FLAIR MR image.
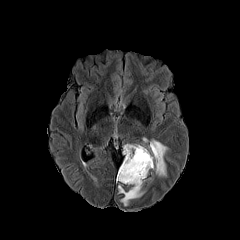
T1-weighted MRI.
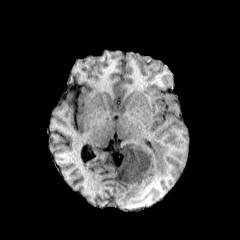
Post-contrast T1-weighted MR.
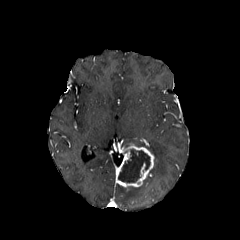
T2-weighted magnetic resonance.
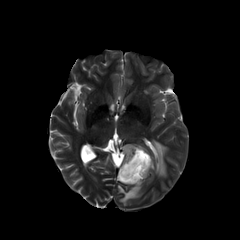
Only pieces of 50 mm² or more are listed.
{
  "necrotic_tumor_core": [
    "(118, 149, 150, 182)"
  ],
  "enhancing_tumor": [
    "(116, 144, 154, 187)"
  ],
  "peritumoral_edema": [
    "(150, 140, 167, 176)",
    "(118, 185, 143, 205)"
  ]
}